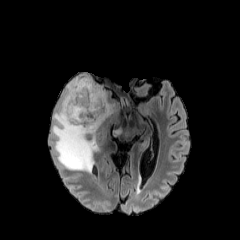
FLAIR magnetic resonance.
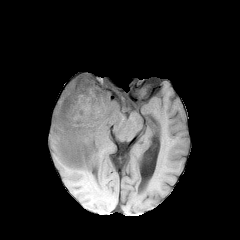
Same slice, T1-weighted magnetic resonance.
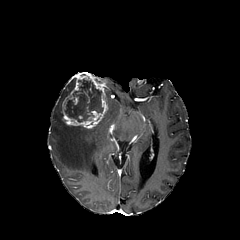
Post-contrast T1-weighted MRI.
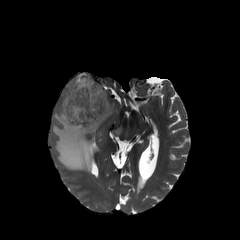
Same slice, T2-weighted MR.
Head, Image size 240x240
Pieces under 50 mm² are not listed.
Findings:
* enhancing tumor: 62, 72, 108, 128
* peritumoral edema: 52, 77, 114, 172
* necrotic tumor core: 65, 79, 103, 122